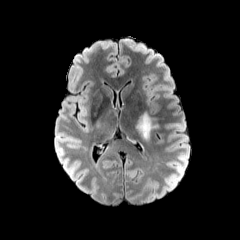
FLAIR MRI.
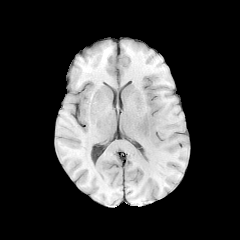
T1-weighted MRI of the same slice.
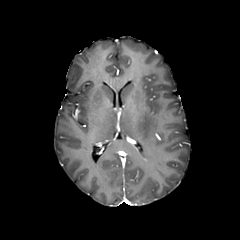
Same slice, post-contrast T1-weighted MR image.
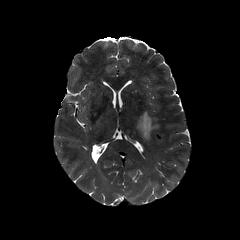
T2-weighted MRI.
- peritumoral edema: left=135, top=111, right=160, bottom=142